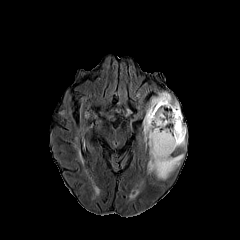
FLAIR MR image.
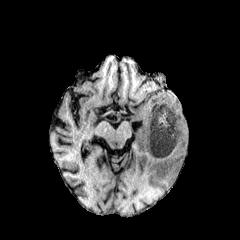
T1-weighted MRI.
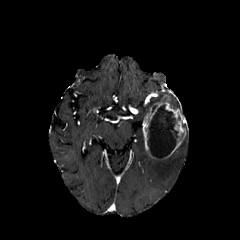
Post-contrast T1-weighted MRI.
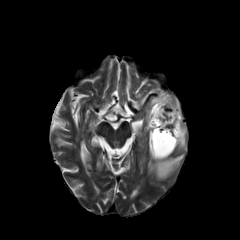
T2-weighted MRI of the same slice.
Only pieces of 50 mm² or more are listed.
{
  "peritumoral_edema": [
    "x1=179 y1=137 x2=186 y2=149",
    "x1=170 y1=95 x2=180 y2=109",
    "x1=147 y1=154 x2=184 y2=179",
    "x1=146 y1=92 x2=169 y2=113"
  ],
  "enhancing_tumor": [
    "x1=142 y1=94 x2=186 y2=158"
  ],
  "necrotic_tumor_core": [
    "x1=147 y1=105 x2=178 y2=157"
  ]
}